Image size 240x240 | Brain | Slice 74/155 | Image width 240 mm, 1.00 mm slice spacing
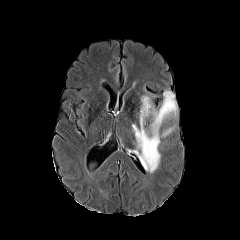
FLAIR MR image.
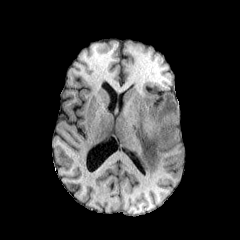
T1-weighted MR.
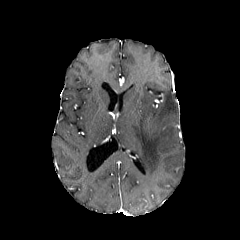
Post-contrast T1-weighted MRI of the same slice.
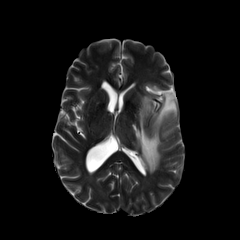
Same slice, T2-weighted MRI.
2 peritumoral edema regions are located at 161 128 173 136, 132 90 177 173.